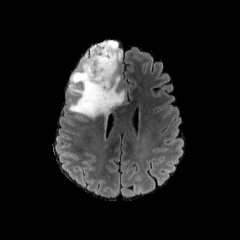
FLAIR magnetic resonance.
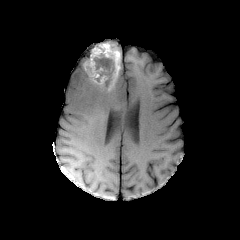
T1-weighted MR image.
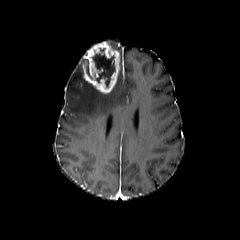
Post-contrast T1-weighted MR image of the same slice.
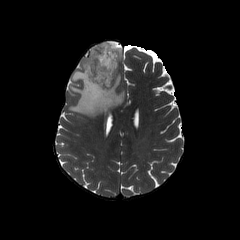
T2-weighted MR image.
Axial plane. 240x240 px. Head.
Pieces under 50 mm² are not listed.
necrotic tumor core at (x1=92, y1=52, x2=115, y2=86), (x1=86, y1=59, x2=92, y2=79)
peritumoral edema at (x1=106, y1=40, x2=121, y2=68), (x1=69, y1=61, x2=124, y2=118)
enhancing tumor at (x1=82, y1=41, x2=119, y2=94)